Axial plane. Head. Slice 80 of 155.
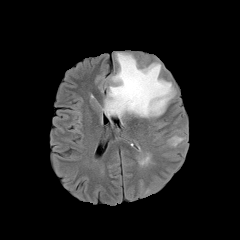
FLAIR magnetic resonance.
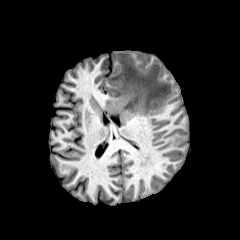
T1-weighted MRI.
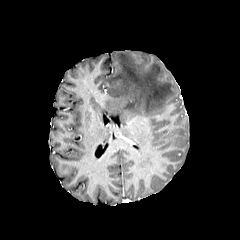
Post-contrast T1-weighted magnetic resonance.
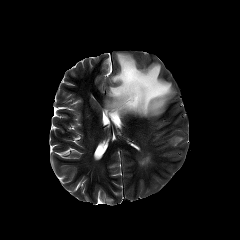
T2-weighted magnetic resonance.
peritumoral_edema:
  - 103,53,174,117
  - 166,135,185,146